Image width 240 mm, 1.00 mm slice spacing
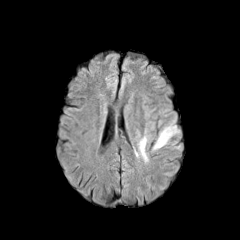
FLAIR MR.
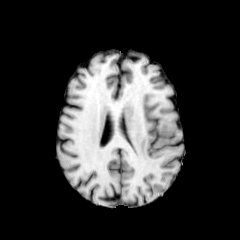
T1-weighted MR.
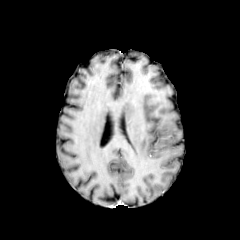
Post-contrast T1-weighted magnetic resonance.
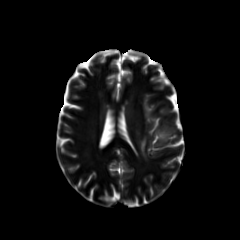
Same slice, T2-weighted MR image.
peritumoral edema: bounding box left=155, top=126, right=173, bottom=143; left=140, top=138, right=148, bottom=160